FLAIR MR.
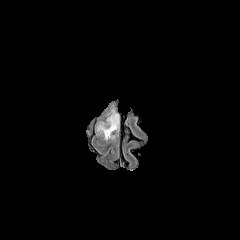
T1-weighted MRI.
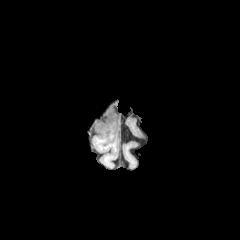
Post-contrast T1-weighted MRI.
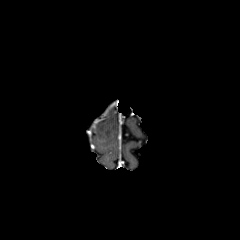
T2-weighted MRI.
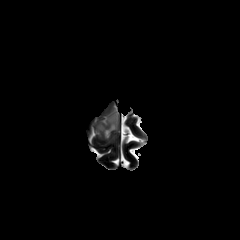
Axial plane. Head.
peritumoral edema at <bbox>97, 113, 118, 139</bbox>